Head.
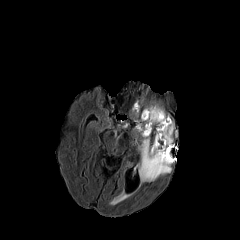
FLAIR MRI.
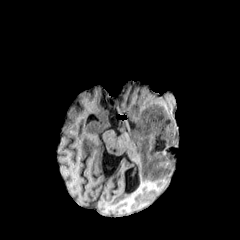
T1-weighted MR of the same slice.
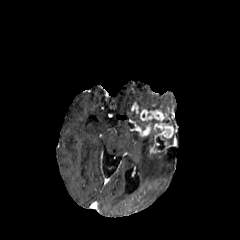
Same slice, post-contrast T1-weighted magnetic resonance.
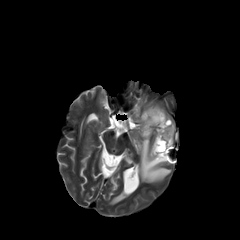
T2-weighted MRI.
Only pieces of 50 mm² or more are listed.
enhancing tumor at 136,109,176,153; 132,103,138,113
peritumoral edema at 145,105,164,113; 137,135,175,182
necrotic tumor core at 156,136,164,149